Slice index 82.
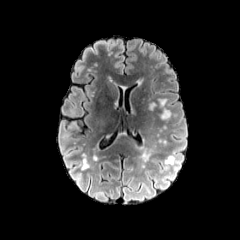
FLAIR MRI.
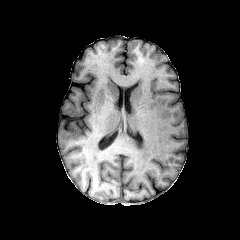
T1-weighted magnetic resonance.
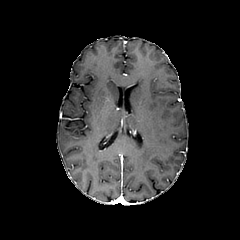
Post-contrast T1-weighted magnetic resonance.
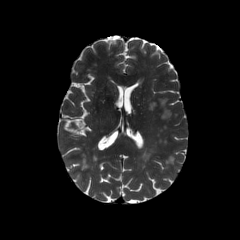
T2-weighted MR.
peritumoral_edema:
  - {"x1": 141, "y1": 149, "x2": 150, "y2": 161}
  - {"x1": 165, "y1": 156, "x2": 174, "y2": 163}